Image size 240x240. Image width 240 mm, 1.00 mm slice spacing.
FLAIR MR.
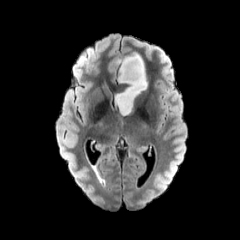
T1-weighted MR image.
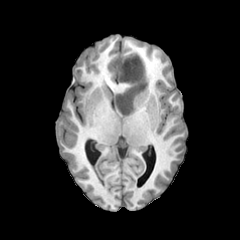
Post-contrast T1-weighted MR.
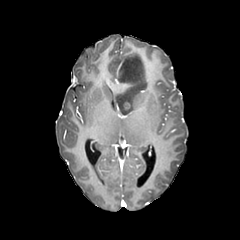
T2-weighted MR.
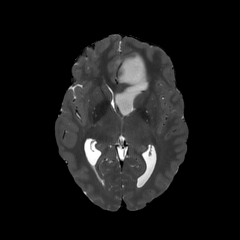
- enhancing tumor: (x1=123, y1=102, x2=130, y2=109)
- peritumoral edema: (x1=113, y1=53, x2=147, y2=115)